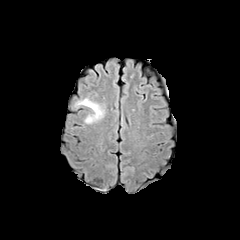
FLAIR MR.
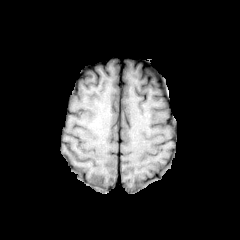
T1-weighted MR image.
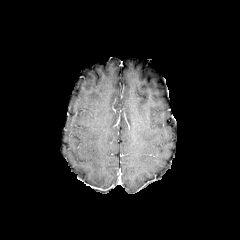
Post-contrast T1-weighted MR.
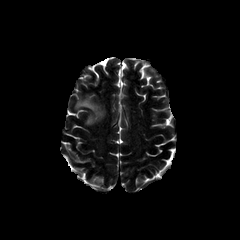
T2-weighted MR image of the same slice.
Image size 240x240. Axial slice.
peritumoral edema at box=[75, 97, 104, 124]